Head | Image covers 240 mm x 240 mm | Axial plane | Slice 82 of 155 | Image size 240x240
FLAIR magnetic resonance.
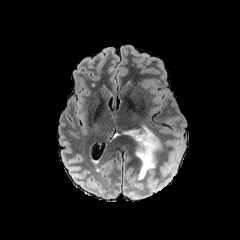
T1-weighted magnetic resonance.
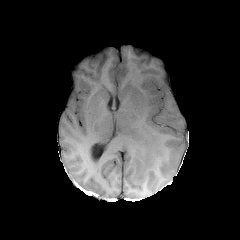
Post-contrast T1-weighted magnetic resonance.
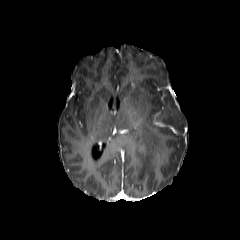
T2-weighted MR image.
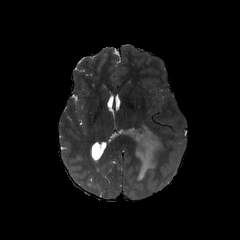
peritumoral_edema:
  - <box>113,125,161,180</box>